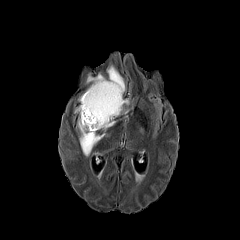
FLAIR MR.
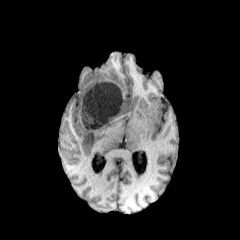
T1-weighted MRI.
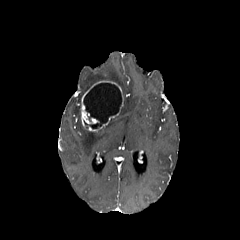
Post-contrast T1-weighted MRI of the same slice.
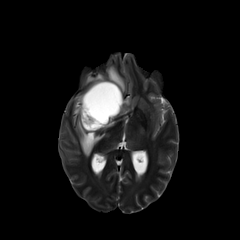
T2-weighted MR of the same slice.
Axial plane, Brain
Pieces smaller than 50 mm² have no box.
enhancing tumor — [x1=81, y1=80, x2=123, y2=131]
peritumoral edema — [x1=74, y1=105, x2=115, y2=156], [x1=119, y1=106, x2=129, y2=114], [x1=86, y1=73, x2=106, y2=85], [x1=106, y1=65, x2=125, y2=92]
necrotic tumor core — [x1=83, y1=83, x2=121, y2=128]